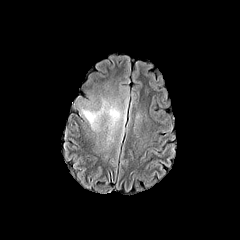
FLAIR MR image.
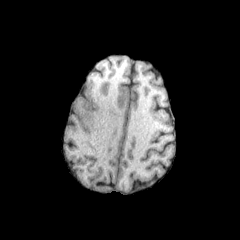
T1-weighted MR of the same slice.
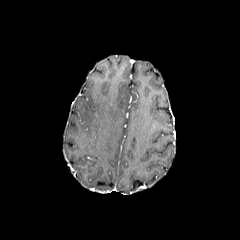
Post-contrast T1-weighted MRI.
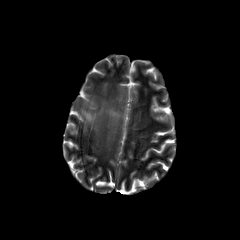
T2-weighted magnetic resonance.
Image size 240x240
The peritumoral edema lies within (80,100,126,130).